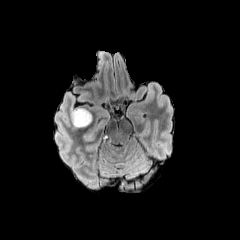
FLAIR MRI.
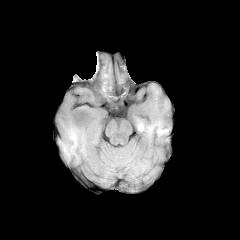
T1-weighted MRI.
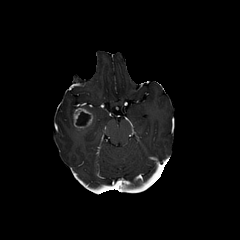
Post-contrast T1-weighted MR.
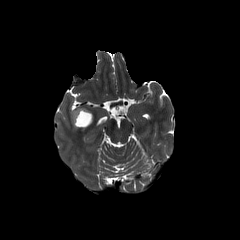
T2-weighted magnetic resonance.
Brain; Axial view
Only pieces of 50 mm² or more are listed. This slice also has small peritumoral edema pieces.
enhancing tumor: (73, 107, 93, 128) | necrotic tumor core: (76, 112, 90, 125)